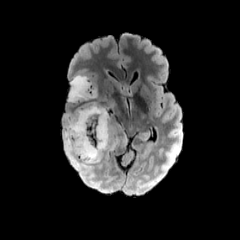
FLAIR MR.
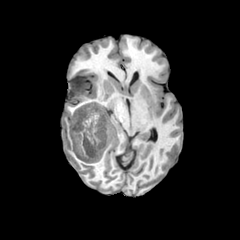
T1-weighted MR image of the same slice.
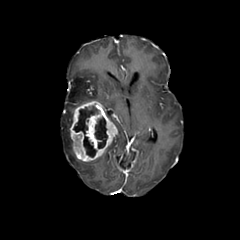
Same slice, post-contrast T1-weighted MRI.
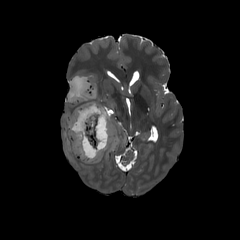
T2-weighted MRI.
240x240 px. Axial view. Brain.
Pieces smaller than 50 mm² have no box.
{"enhancing_tumor": ["(69,101,117,161)"], "peritumoral_edema": ["(64,115,85,168)", "(68,76,96,101)", "(83,156,101,163)"], "necrotic_tumor_core": ["(94,117,107,148)", "(73,106,97,134)", "(83,136,96,157)"]}